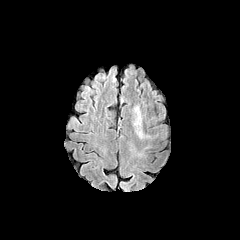
FLAIR MRI.
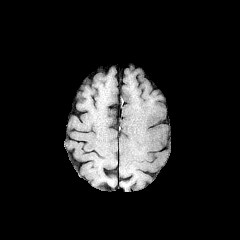
Same slice, T1-weighted MR.
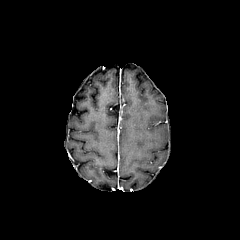
Same slice, post-contrast T1-weighted MRI.
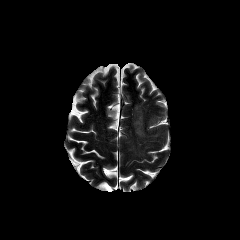
T2-weighted MR.
Axial slice
The peritumoral edema is bounded by 133 105 150 138.